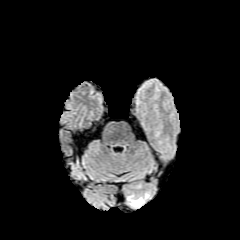
FLAIR MR.
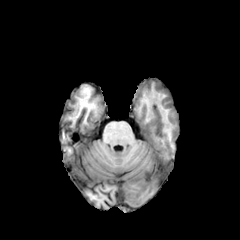
Same slice, T1-weighted MR image.
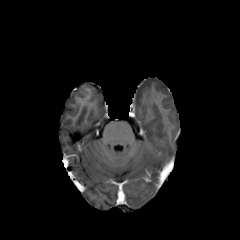
Post-contrast T1-weighted MR image of the same slice.
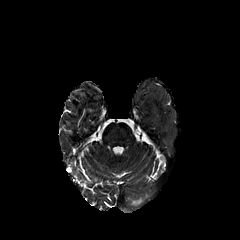
T2-weighted magnetic resonance.
Brain
{"peritumoral_edema": ["l=127, t=193, r=150, b=207"]}